Image size 240x240, Brain, Slice 87 of 155
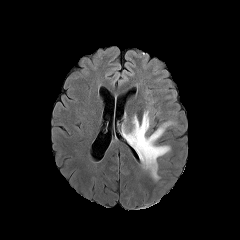
FLAIR MR.
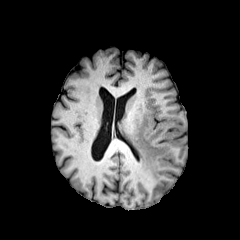
T1-weighted MRI.
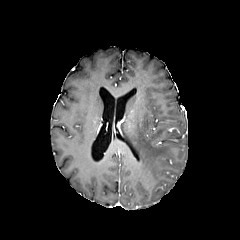
Same slice, post-contrast T1-weighted MRI.
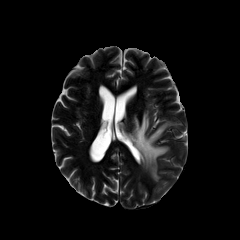
T2-weighted magnetic resonance.
peritumoral edema — rect(124, 111, 172, 180)